FLAIR magnetic resonance.
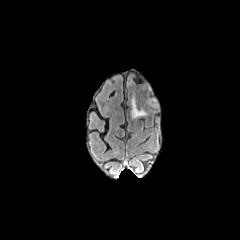
T1-weighted MR image.
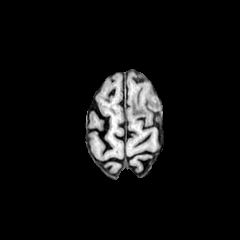
Post-contrast T1-weighted MR.
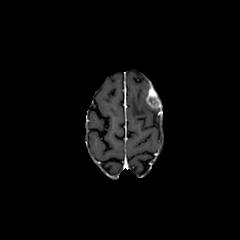
T2-weighted magnetic resonance.
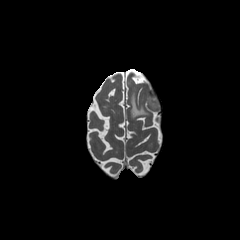
Brain. Axial plane.
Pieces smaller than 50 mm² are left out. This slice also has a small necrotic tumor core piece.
peritumoral edema: (left=130, top=93, right=147, bottom=118)
enhancing tumor: (left=146, top=85, right=160, bottom=108)